Head. Image size 240x240. Image width 240 mm, 1.00 mm slice spacing.
FLAIR MRI.
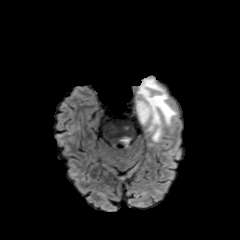
T1-weighted MR image.
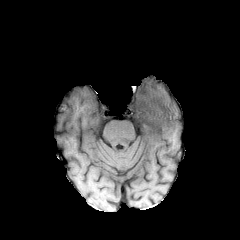
Post-contrast T1-weighted MR.
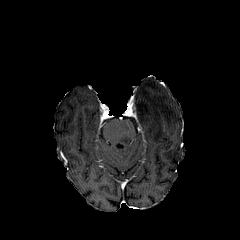
T2-weighted MR image.
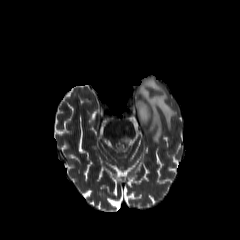
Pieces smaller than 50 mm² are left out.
Findings:
* peritumoral edema: (134,78,177,142), (119,136,131,147)